Brain, Axial slice
FLAIR MR image.
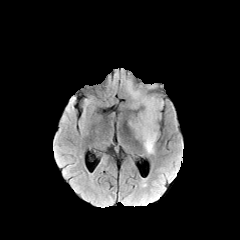
T1-weighted MR.
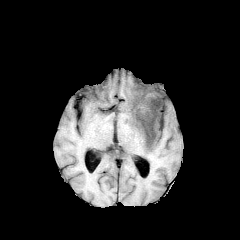
Post-contrast T1-weighted MR.
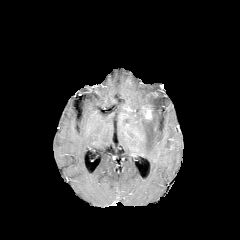
T2-weighted MRI.
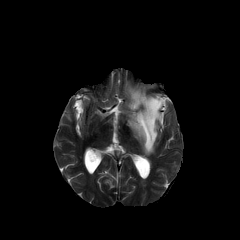
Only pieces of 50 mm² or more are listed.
Annotated regions:
* peritumoral edema: (x1=127, y1=83, x2=163, y2=154)
* enhancing tumor: (x1=144, y1=105, x2=152, y2=119)